Brain | Slice index 123 | 240x240
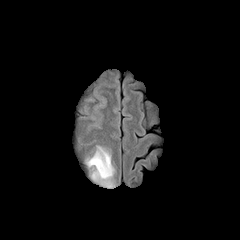
FLAIR MRI.
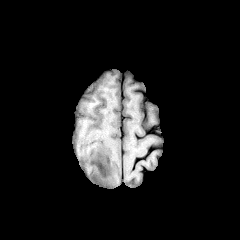
T1-weighted magnetic resonance of the same slice.
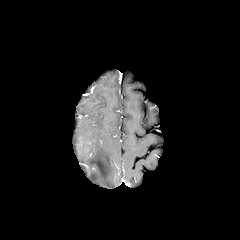
Post-contrast T1-weighted MR.
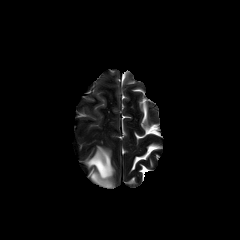
T2-weighted magnetic resonance.
The peritumoral edema is bounded by <bbox>85, 146, 114, 187</bbox>.